FLAIR MR.
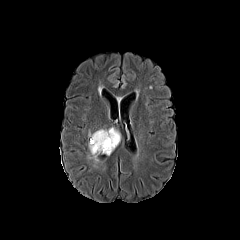
T1-weighted magnetic resonance.
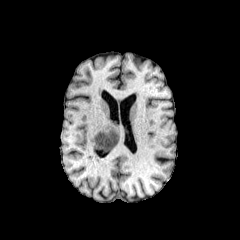
Post-contrast T1-weighted magnetic resonance.
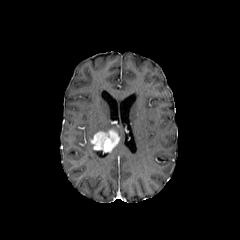
T2-weighted MR.
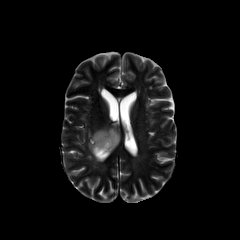
Axial plane | Head
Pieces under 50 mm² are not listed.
enhancing tumor — 91, 129, 119, 152
peritumoral edema — 87, 127, 121, 162